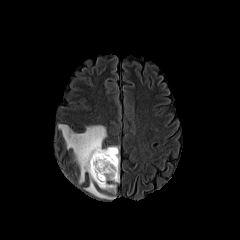
FLAIR MR.
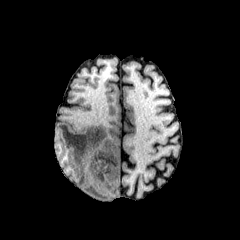
T1-weighted MR image.
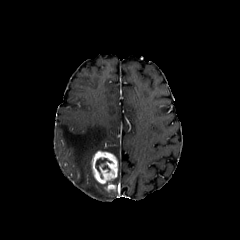
Post-contrast T1-weighted MR image.
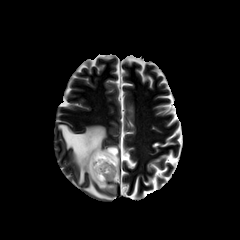
Same slice, T2-weighted magnetic resonance.
Brain
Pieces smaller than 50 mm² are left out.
enhancing_tumor:
  - 91,150,118,191
peritumoral_edema:
  - 58,124,119,199
necrotic_tumor_core:
  - 96,158,111,172